Image size 240x240; Image width 240 mm; Slice index 71
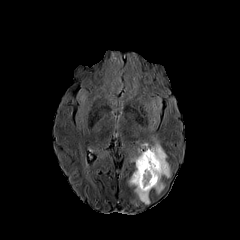
FLAIR magnetic resonance.
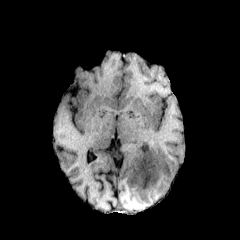
T1-weighted MRI.
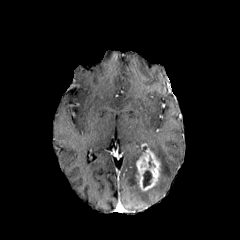
Same slice, post-contrast T1-weighted MR.
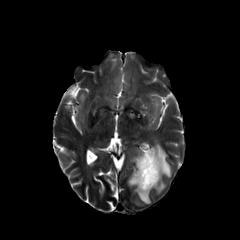
T2-weighted magnetic resonance of the same slice.
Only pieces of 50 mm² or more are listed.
<segmentation>
  <peritumoral_edema>(left=149, top=134, right=171, bottom=193), (left=128, top=167, right=151, bottom=204), (left=131, top=150, right=142, bottom=166), (left=144, top=96, right=162, bottom=132), (left=164, top=97, right=177, bottom=121)</peritumoral_edema>
  <necrotic_tumor_core>(left=143, top=170, right=151, bottom=187)</necrotic_tumor_core>
  <enhancing_tumor>(left=135, top=148, right=160, bottom=191)</enhancing_tumor>
</segmentation>